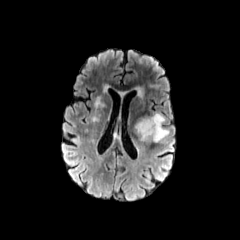
FLAIR magnetic resonance.
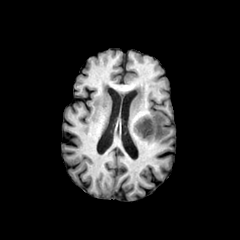
Same slice, T1-weighted MR image.
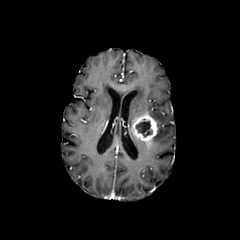
Same slice, post-contrast T1-weighted MR image.
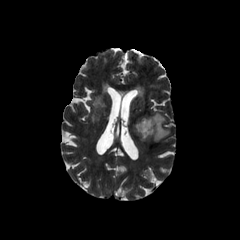
T2-weighted MRI.
Axial view
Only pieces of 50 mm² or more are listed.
{"necrotic_tumor_core": ["136:119:152:137"], "enhancing_tumor": ["131:114:158:144"], "peritumoral_edema": ["151:112:169:141"]}